Image size 240x240; Axial view; Slice index 113
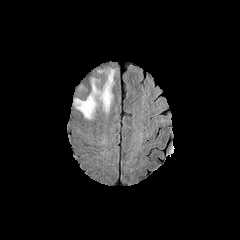
FLAIR MR.
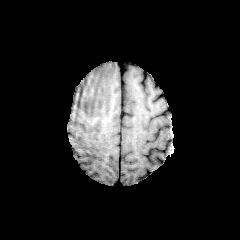
T1-weighted MR image.
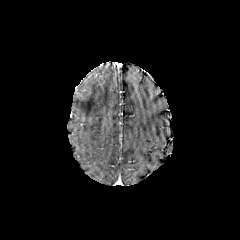
Post-contrast T1-weighted magnetic resonance.
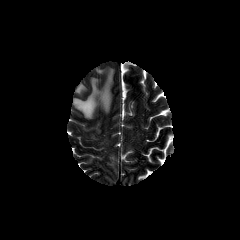
T2-weighted MR image.
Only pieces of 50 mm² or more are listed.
Annotated regions:
• peritumoral edema: rect(73, 68, 114, 119)